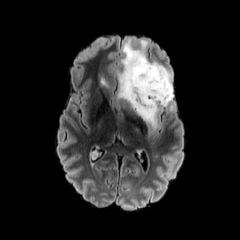
FLAIR MR.
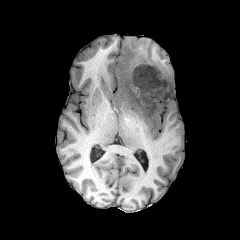
Same slice, T1-weighted MR image.
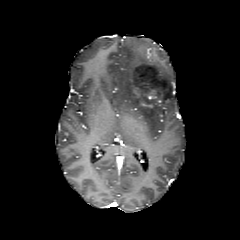
Post-contrast T1-weighted magnetic resonance of the same slice.
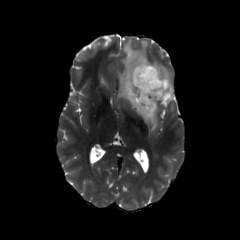
T2-weighted MRI of the same slice.
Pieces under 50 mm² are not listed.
peritumoral edema at l=117, t=38, r=173, b=131; l=100, t=77, r=108, b=87
enhancing tumor at l=140, t=89, r=162, b=108; l=129, t=75, r=140, b=97